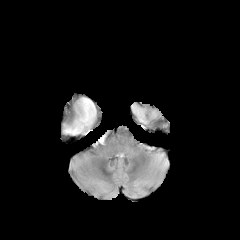
FLAIR MRI.
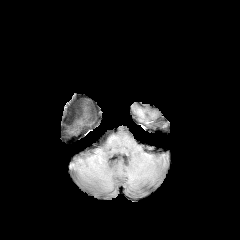
T1-weighted MR.
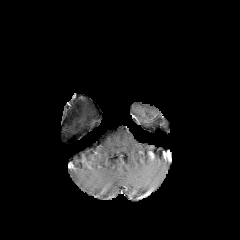
Post-contrast T1-weighted MR image.
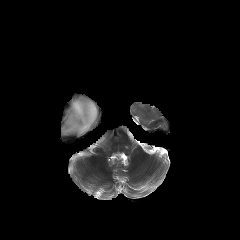
T2-weighted MRI.
Axial plane | Brain | Image size 240x240
<segmentation>
  <peritumoral_edema>box(63, 97, 97, 134)</peritumoral_edema>
</segmentation>